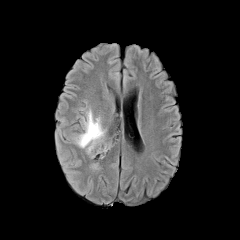
FLAIR magnetic resonance.
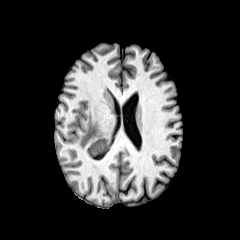
Same slice, T1-weighted magnetic resonance.
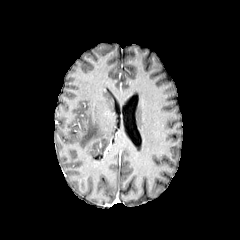
Post-contrast T1-weighted magnetic resonance of the same slice.
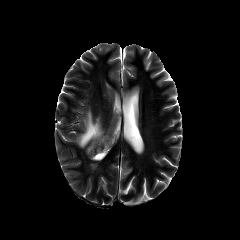
T2-weighted magnetic resonance of the same slice.
Axial slice | Image size 240x240 | Brain
The peritumoral edema is located at left=75, top=109, right=107, bottom=155.